Brain. Slice index 75.
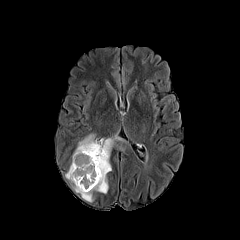
FLAIR MRI.
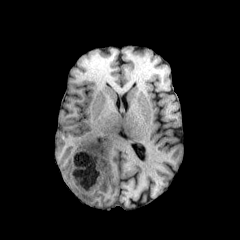
T1-weighted MRI.
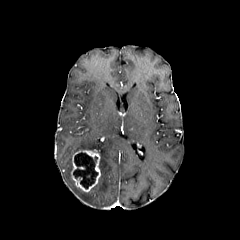
Post-contrast T1-weighted MR.
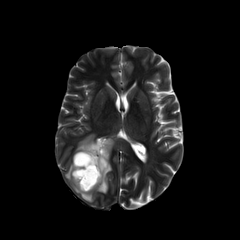
T2-weighted MR of the same slice.
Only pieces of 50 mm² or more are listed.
necrotic tumor core: [x1=73, y1=152, x2=98, y2=189] | peritumoral edema: [x1=65, y1=134, x2=120, y2=202] | enhancing tumor: [x1=71, y1=149, x2=100, y2=192]